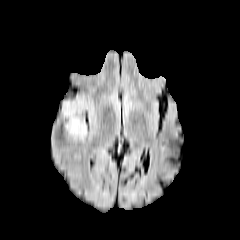
FLAIR MR.
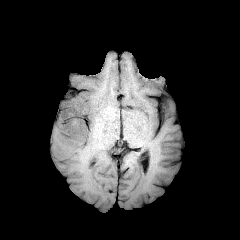
T1-weighted magnetic resonance.
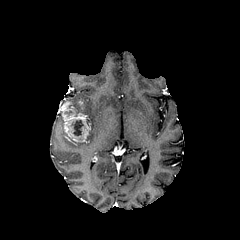
Same slice, post-contrast T1-weighted MRI.
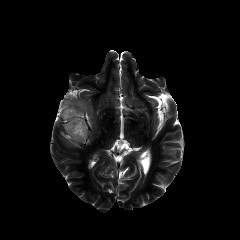
T2-weighted MR image of the same slice.
Head; Image size 240x240
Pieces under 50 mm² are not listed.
The largest necrotic tumor core region is at l=72, t=120, r=83, b=135. The largest enhancing tumor region lies within l=60, t=101, r=89, b=141. The largest peritumoral edema region appears at l=71, t=99, r=86, b=112.